Brain. 240x240 px.
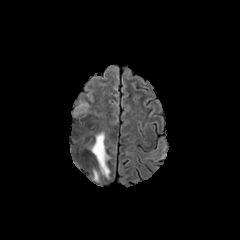
FLAIR MR image.
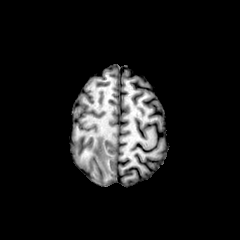
T1-weighted MRI.
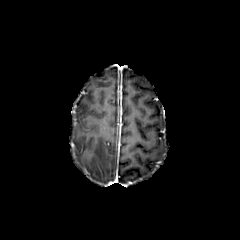
Same slice, post-contrast T1-weighted MRI.
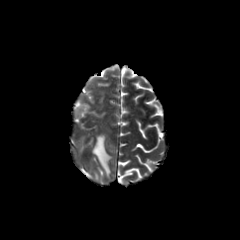
T2-weighted magnetic resonance.
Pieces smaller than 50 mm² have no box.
The largest peritumoral edema region is located at [89, 133, 109, 177].